240x240; Axial plane; Head
FLAIR MRI.
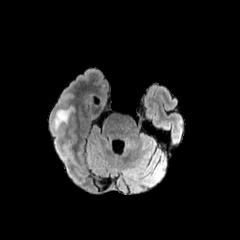
T1-weighted MR image.
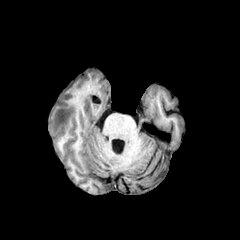
Post-contrast T1-weighted MRI.
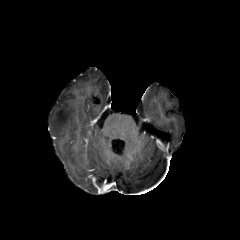
T2-weighted MR image.
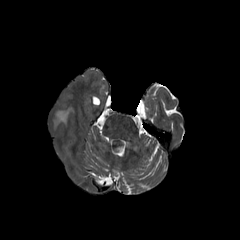
{"peritumoral_edema": ["[53,108,72,130]"]}